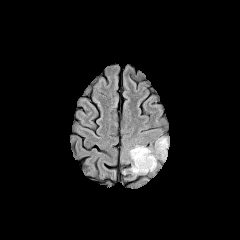
FLAIR MR.
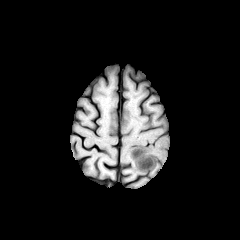
T1-weighted magnetic resonance.
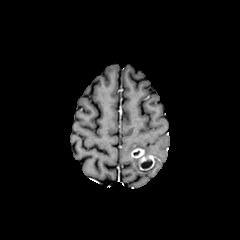
Post-contrast T1-weighted MR.
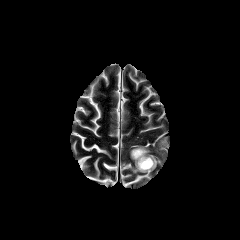
T2-weighted MR.
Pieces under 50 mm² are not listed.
Segmented structures:
* peritumoral edema: (129, 145, 156, 173), (157, 137, 168, 159)
* enhancing tumor: (131, 148, 154, 170)
* necrotic tumor core: (141, 160, 152, 168)